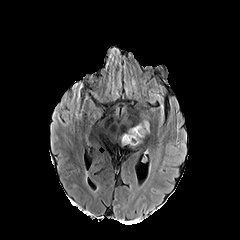
FLAIR MR image.
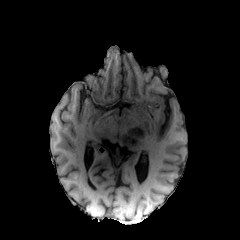
T1-weighted magnetic resonance of the same slice.
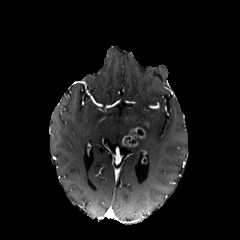
Post-contrast T1-weighted MRI.
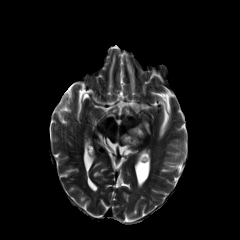
T2-weighted MRI of the same slice.
240x240 px.
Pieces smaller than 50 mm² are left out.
necrotic tumor core at rect(130, 129, 143, 135); rect(124, 137, 135, 144)
enhancing tumor at rect(121, 127, 145, 147)
peritumoral edema at rect(136, 120, 149, 132)